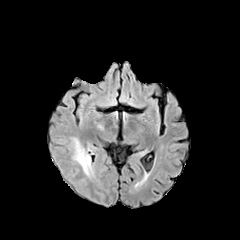
FLAIR MR image.
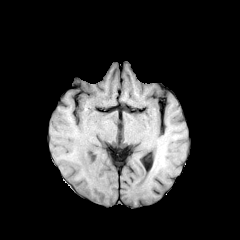
T1-weighted MR.
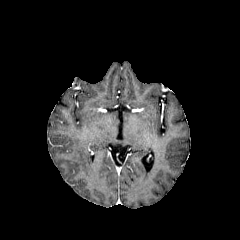
Post-contrast T1-weighted MR image.
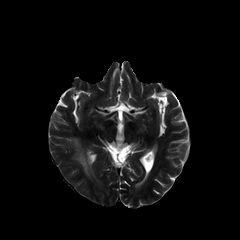
T2-weighted MR image of the same slice.
peritumoral edema: [73,139,91,175]